Axial slice
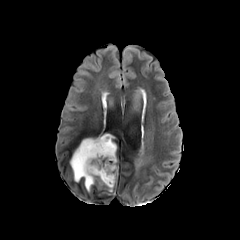
FLAIR MRI.
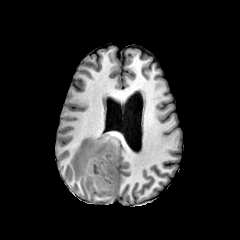
T1-weighted magnetic resonance.
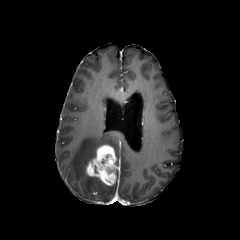
Post-contrast T1-weighted MRI of the same slice.
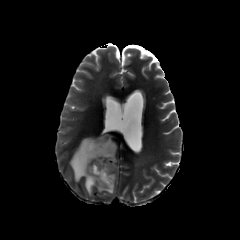
T2-weighted MRI.
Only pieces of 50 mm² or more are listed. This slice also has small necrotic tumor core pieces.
enhancing_tumor:
  - [86,145,118,185]
peritumoral_edema:
  - [70,134,117,193]